Image covers 240 mm x 240 mm
FLAIR magnetic resonance.
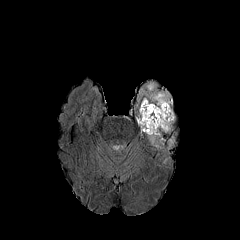
T1-weighted magnetic resonance.
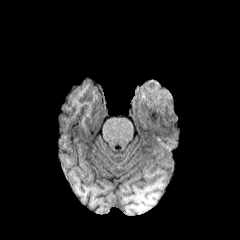
Post-contrast T1-weighted MR image.
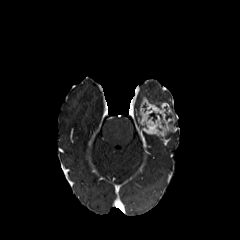
T2-weighted MRI.
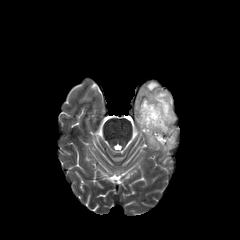
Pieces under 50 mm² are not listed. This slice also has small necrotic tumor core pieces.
peritumoral edema at (left=138, top=82, right=170, bottom=104), (left=148, top=129, right=178, bottom=148)
enhancing tumor at (left=137, top=97, right=176, bottom=136)